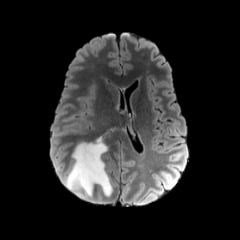
FLAIR magnetic resonance.
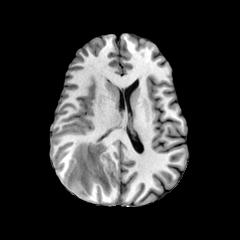
Same slice, T1-weighted magnetic resonance.
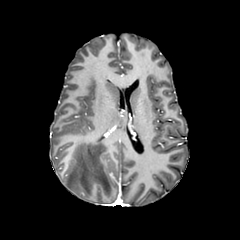
Post-contrast T1-weighted magnetic resonance of the same slice.
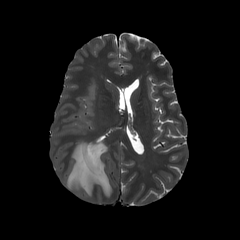
T2-weighted MRI.
Brain. Axial plane.
{"peritumoral_edema": ["65,136,112,195"]}